Slice index 101. Brain.
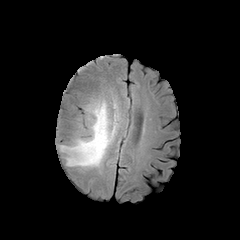
FLAIR magnetic resonance.
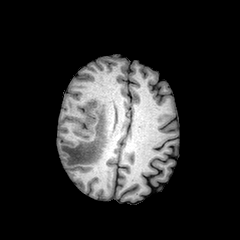
T1-weighted magnetic resonance.
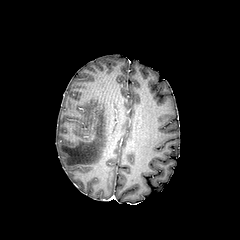
Post-contrast T1-weighted magnetic resonance.
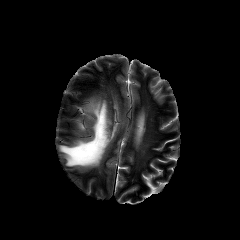
T2-weighted MRI of the same slice.
Findings:
- peritumoral edema: (x1=59, y1=99, x2=116, y2=167)